Head. Axial view.
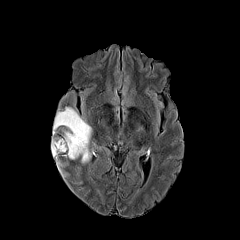
FLAIR MR.
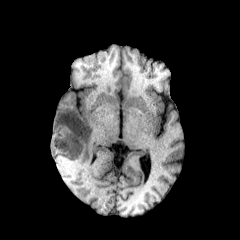
T1-weighted MR image.
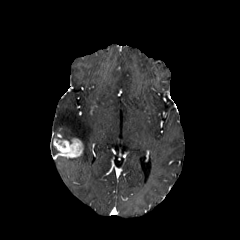
Post-contrast T1-weighted MRI of the same slice.
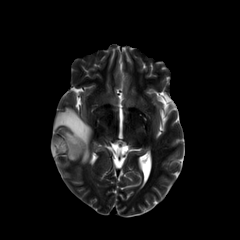
T2-weighted MRI.
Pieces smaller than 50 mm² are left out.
<segmentation>
  <peritumoral_edema>[51, 141, 59, 155], [53, 107, 92, 163]</peritumoral_edema>
  <enhancing_tumor>[53, 138, 83, 158]</enhancing_tumor>
</segmentation>